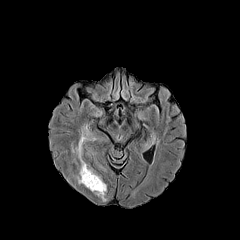
FLAIR MRI.
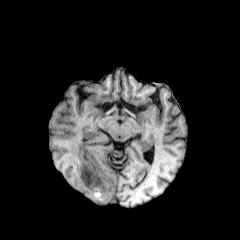
Same slice, T1-weighted magnetic resonance.
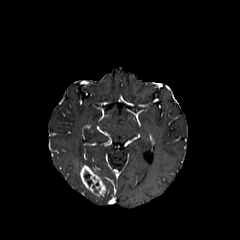
Post-contrast T1-weighted MRI.
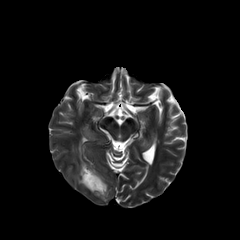
Same slice, T2-weighted MR.
Axial slice, Brain, 240x240
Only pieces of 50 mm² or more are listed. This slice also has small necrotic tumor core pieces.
peritumoral edema: (71,120,99,165) | enhancing tumor: (80,165,105,196)